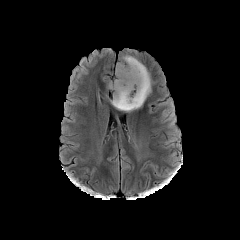
FLAIR magnetic resonance.
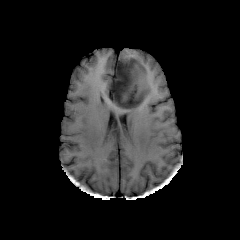
Same slice, T1-weighted MRI.
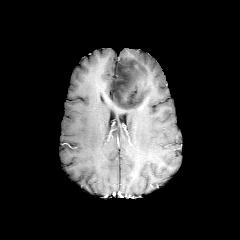
Post-contrast T1-weighted MRI of the same slice.
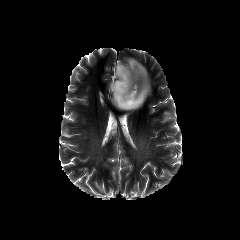
T2-weighted MR.
Image size 240x240
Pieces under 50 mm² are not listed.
The largest peritumoral edema region lies within left=111, top=55, right=151, bottom=111. The necrotic tumor core is at left=111, top=61, right=144, bottom=107.